FLAIR magnetic resonance.
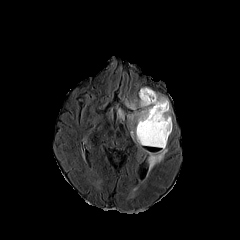
T1-weighted MR.
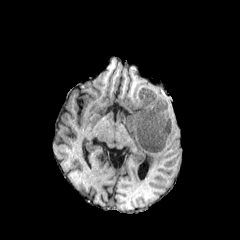
Post-contrast T1-weighted magnetic resonance.
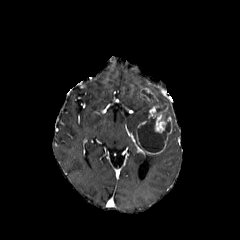
T2-weighted MR.
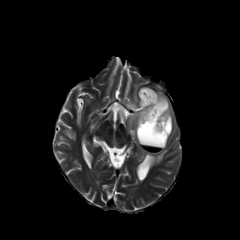
Brain. Axial slice.
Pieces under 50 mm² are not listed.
The 2 largest necrotic tumor core regions are located at (x1=136, y1=117, x2=170, y2=152), (x1=141, y1=90, x2=155, y2=100). The 2 largest enhancing tumor regions are bounded by (x1=137, y1=104, x2=171, y2=154), (x1=140, y1=88, x2=157, y2=102). The 2 largest peritumoral edema regions are located at (x1=125, y1=89, x2=171, y2=133), (x1=148, y1=146, x2=167, y2=170).